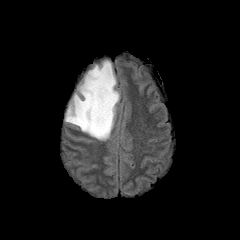
FLAIR MRI.
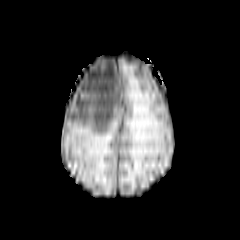
T1-weighted magnetic resonance.
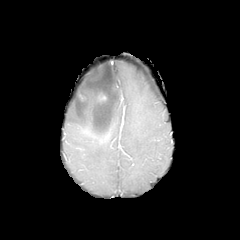
Same slice, post-contrast T1-weighted magnetic resonance.
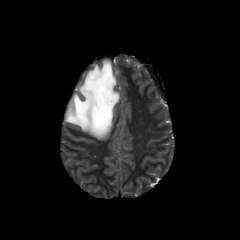
Same slice, T2-weighted MRI.
Head
Segmented structures:
* enhancing tumor: x1=98, y1=93, x2=106, y2=101
* peritumoral edema: x1=65, y1=60, x2=119, y2=140